FLAIR MR image.
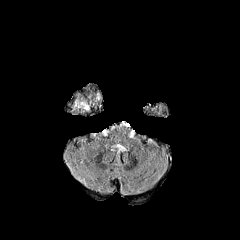
T1-weighted MR image.
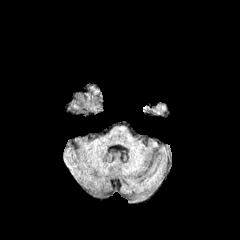
Post-contrast T1-weighted MR image.
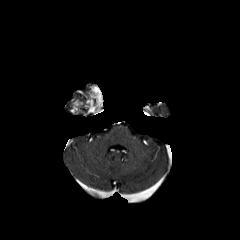
T2-weighted MRI.
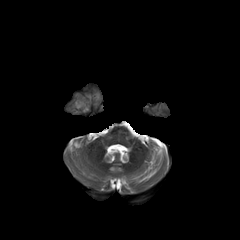
Image size 240x240
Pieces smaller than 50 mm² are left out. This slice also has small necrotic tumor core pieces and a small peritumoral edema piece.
2 enhancing tumor regions appear at region(84, 86, 102, 113); region(71, 99, 84, 113).